FLAIR MR image.
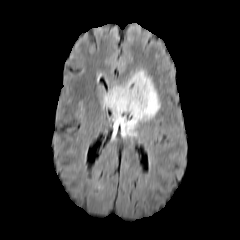
T1-weighted MR.
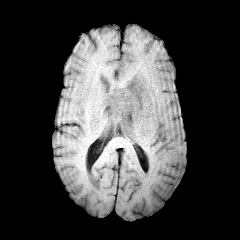
Post-contrast T1-weighted MR image.
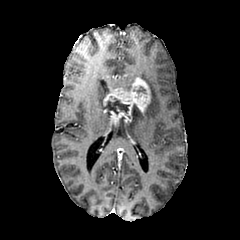
T2-weighted MR image.
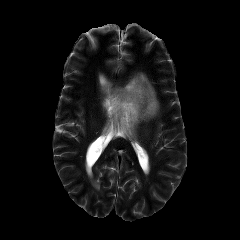
Axial plane
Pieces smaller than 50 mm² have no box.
The enhancing tumor lies within [103, 77, 150, 123]. The largest necrotic tumor core region is at [107, 98, 129, 114]. The largest peritumoral edema region appears at [112, 70, 160, 136].